FLAIR MR image.
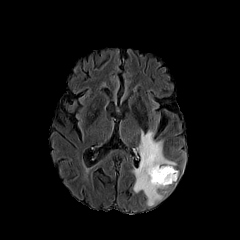
T1-weighted magnetic resonance.
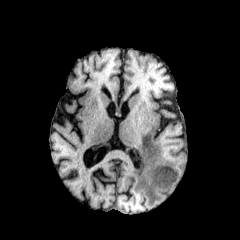
Post-contrast T1-weighted MR image.
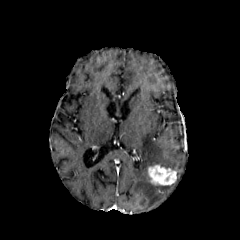
T2-weighted MR.
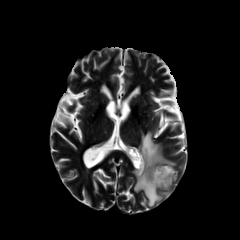
Head
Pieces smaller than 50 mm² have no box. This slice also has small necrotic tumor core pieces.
Findings:
* enhancing tumor: 147:164:176:185
* peritumoral edema: 133:130:176:206